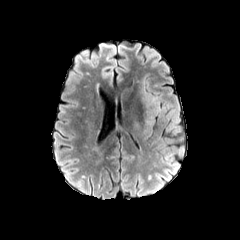
FLAIR MR image.
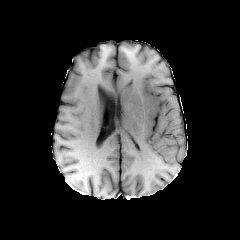
T1-weighted MR.
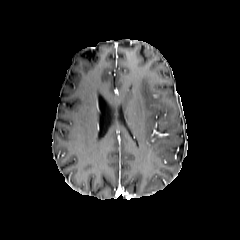
Post-contrast T1-weighted MR image.
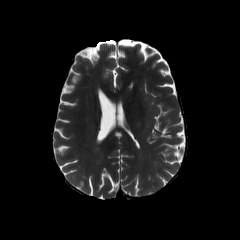
T2-weighted MR.
Head
The peritumoral edema is bounded by (x1=141, y1=81, x2=159, y2=136).